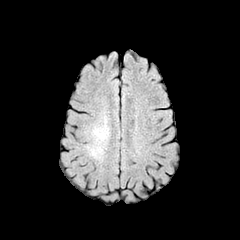
FLAIR MRI.
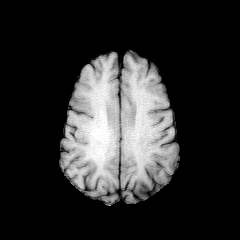
T1-weighted magnetic resonance.
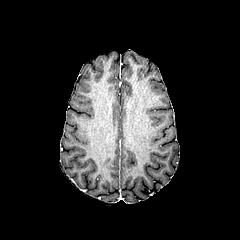
Same slice, post-contrast T1-weighted MR image.
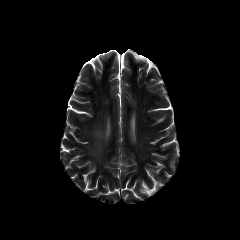
Same slice, T2-weighted magnetic resonance.
Head | 240x240 px
The peritumoral edema is bounded by 82, 95, 111, 165.